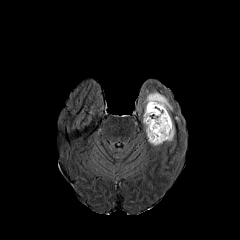
FLAIR MR image.
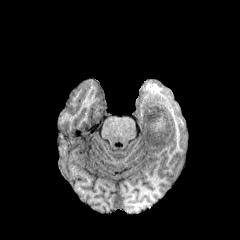
T1-weighted MR image.
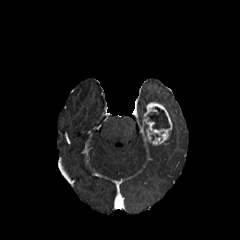
Post-contrast T1-weighted MRI.
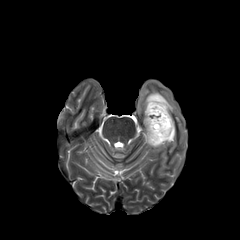
Same slice, T2-weighted magnetic resonance.
240x240 px | Brain
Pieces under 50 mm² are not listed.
peritumoral edema: bounding box <bbox>137, 81, 181, 149</bbox>
necrotic tumor core: bounding box <bbox>147, 107, 169, 129</bbox>
enhancing tumor: bounding box <bbox>143, 102, 172, 145</bbox>